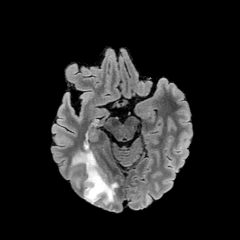
FLAIR MR image.
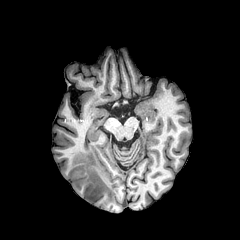
Same slice, T1-weighted magnetic resonance.
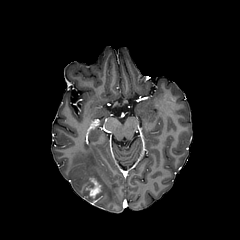
Post-contrast T1-weighted magnetic resonance.
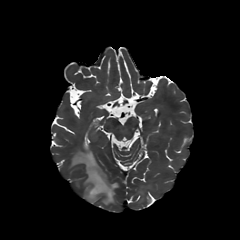
T2-weighted MR image.
240x240 px
{"enhancing_tumor": ["l=87, t=178, r=101, b=204"], "peritumoral_edema": ["l=71, t=144, r=118, b=206"]}